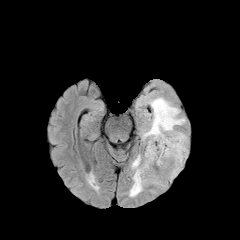
FLAIR MRI.
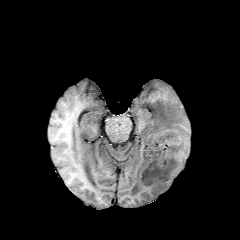
T1-weighted MR image.
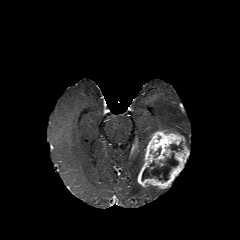
Same slice, post-contrast T1-weighted magnetic resonance.
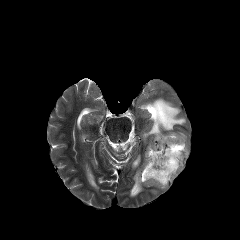
T2-weighted MR image.
Head.
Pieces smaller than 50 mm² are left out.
2 peritumoral edema regions are located at {"x1": 129, "y1": 154, "x2": 143, "y2": 196}, {"x1": 142, "y1": 97, "x2": 187, "y2": 147}. The 2 largest necrotic tumor core regions appear at {"x1": 170, "y1": 141, "x2": 182, "y2": 151}, {"x1": 142, "y1": 153, "x2": 178, "y2": 180}. The largest enhancing tumor region lies within {"x1": 137, "y1": 130, "x2": 189, "y2": 189}.